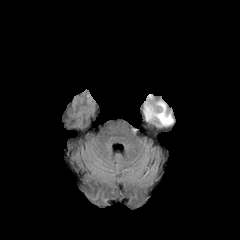
FLAIR magnetic resonance.
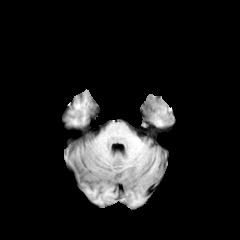
T1-weighted MRI.
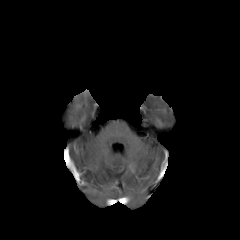
Same slice, post-contrast T1-weighted MRI.
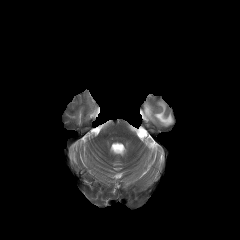
T2-weighted MR image of the same slice.
Head | 240x240
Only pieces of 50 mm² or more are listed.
peritumoral edema: x1=145, y1=101, x2=173, y2=125